FLAIR MR image.
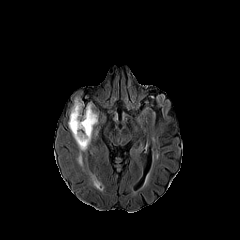
T1-weighted MR.
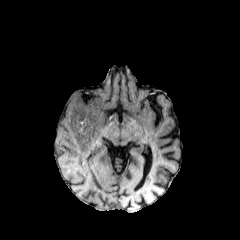
Post-contrast T1-weighted MR.
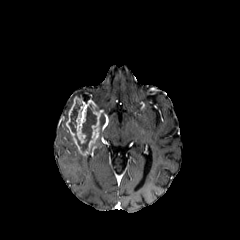
T2-weighted MR.
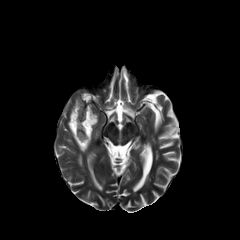
Axial slice
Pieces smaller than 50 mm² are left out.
<segmentation>
  <necrotic_tumor_core>x1=69, y1=101, x2=96, y2=151</necrotic_tumor_core>
  <enhancing_tumor>x1=66, y1=96, x2=101, y2=155</enhancing_tumor>
  <peritumoral_edema>x1=77, y1=153, x2=83, y2=166; x1=91, y1=174, x2=102, y2=190</peritumoral_edema>
</segmentation>